FLAIR MR image.
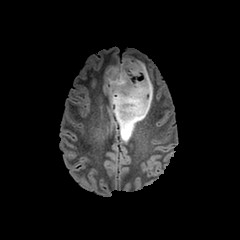
T1-weighted MR image.
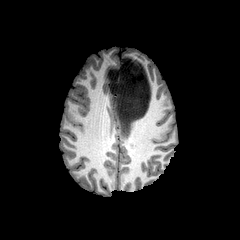
Post-contrast T1-weighted MRI.
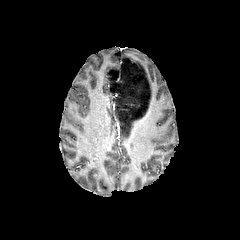
T2-weighted magnetic resonance.
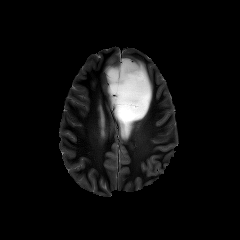
Brain, 240x240 px
* peritumoral edema: 106, 57, 153, 141